FLAIR MR image.
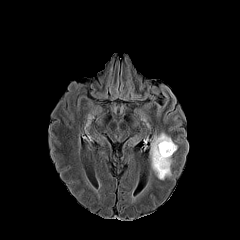
T1-weighted magnetic resonance.
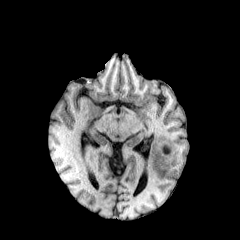
Post-contrast T1-weighted magnetic resonance.
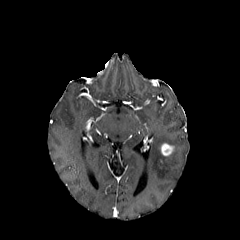
T2-weighted MR image.
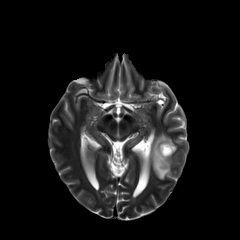
Head
<segmentation>
  <enhancing_tumor>rect(160, 143, 174, 156)</enhancing_tumor>
  <peritumoral_edema>rect(150, 132, 177, 179)</peritumoral_edema>
</segmentation>